Axial plane.
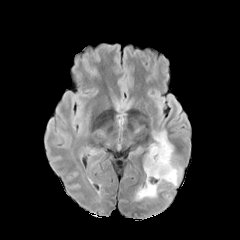
FLAIR MR image.
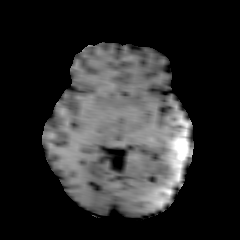
T1-weighted MR.
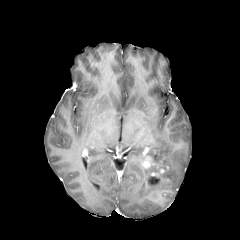
Same slice, post-contrast T1-weighted MR.
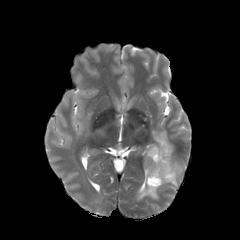
T2-weighted MRI.
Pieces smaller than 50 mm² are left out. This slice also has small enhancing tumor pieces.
The peritumoral edema is bounded by 135, 130, 182, 201.